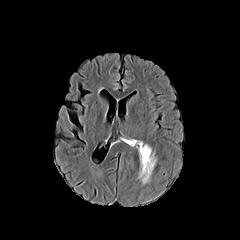
FLAIR MRI.
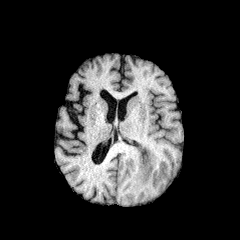
T1-weighted MR.
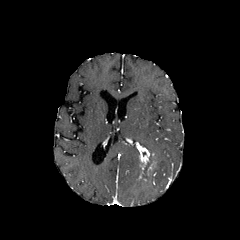
Post-contrast T1-weighted MRI.
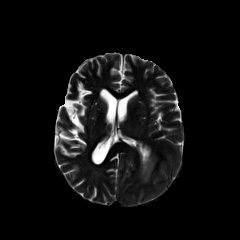
T2-weighted MR image.
Axial view
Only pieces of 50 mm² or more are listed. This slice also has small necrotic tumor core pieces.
enhancing tumor: box(137, 145, 149, 170) | peritumoral edema: box(139, 141, 155, 183)